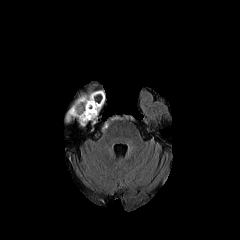
FLAIR MR.
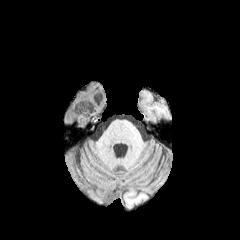
T1-weighted MR of the same slice.
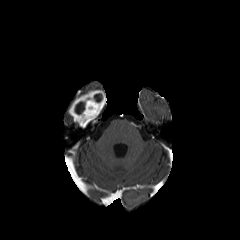
Same slice, post-contrast T1-weighted MRI.
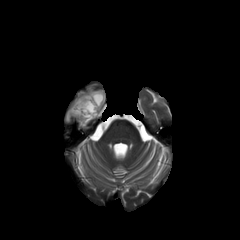
Same slice, T2-weighted MRI.
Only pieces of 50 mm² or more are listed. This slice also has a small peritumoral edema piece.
The enhancing tumor appears at 68, 90, 106, 126. The 2 largest necrotic tumor core regions appear at 75, 102, 84, 114; 94, 93, 102, 102.